Image width 240 mm, 1.00 mm slice spacing, 240x240, Axial slice, Slice 50 of 155
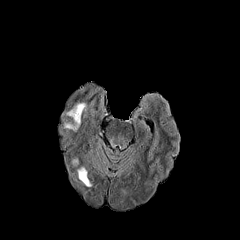
FLAIR MRI.
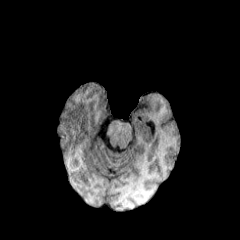
T1-weighted magnetic resonance.
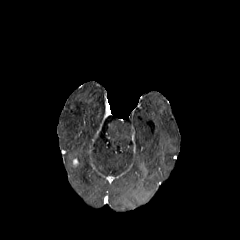
Post-contrast T1-weighted magnetic resonance.
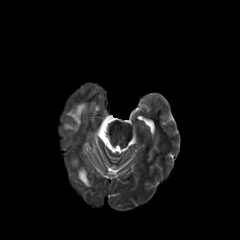
T2-weighted MR of the same slice.
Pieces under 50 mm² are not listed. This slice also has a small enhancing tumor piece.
peritumoral edema: x1=77, y1=167, x2=91, y2=186; x1=65, y1=103, x2=86, y2=130